Head | Axial view
FLAIR magnetic resonance.
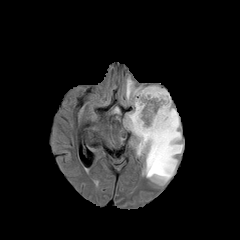
T1-weighted MR image.
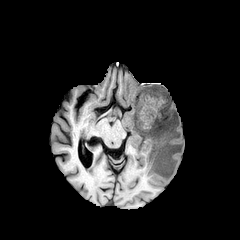
Post-contrast T1-weighted MRI.
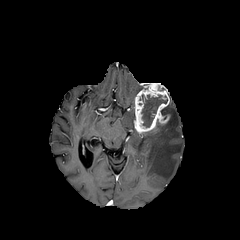
T2-weighted MR image.
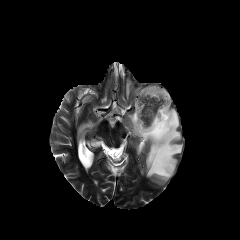
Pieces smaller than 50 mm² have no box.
{"peritumoral_edema": ["127 101 183 184", "126 79 141 99"], "necrotic_tumor_core": ["142 95 166 127"], "enhancing_tumor": ["134 83 170 134"]}